Axial slice
FLAIR MR image.
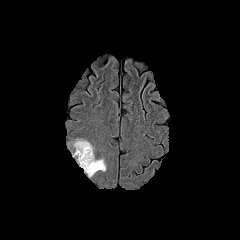
T1-weighted MR image.
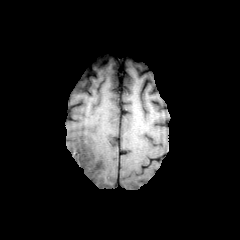
Post-contrast T1-weighted MR image.
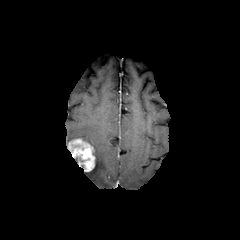
T2-weighted MRI.
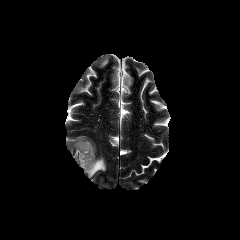
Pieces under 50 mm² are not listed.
enhancing tumor at (68, 139, 95, 171)
peritumoral edema at (85, 158, 106, 177)